FLAIR MRI.
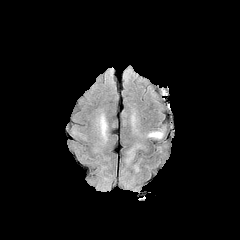
T1-weighted MR.
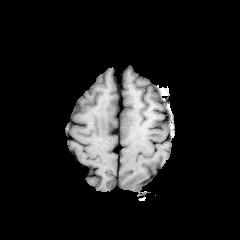
Post-contrast T1-weighted MR image.
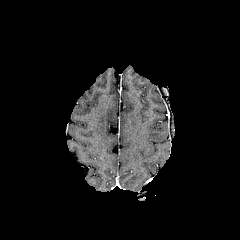
T2-weighted MR image.
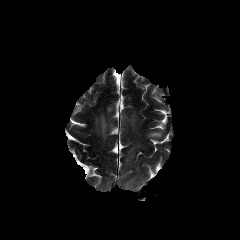
Axial plane
peritumoral edema = bbox=[148, 131, 163, 138]; bbox=[131, 112, 136, 128]; bbox=[98, 114, 107, 140]